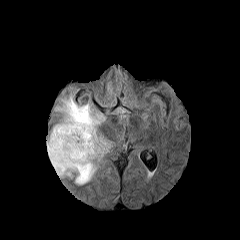
FLAIR MR.
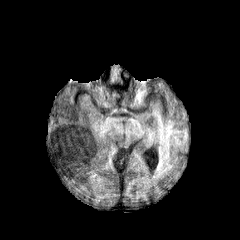
T1-weighted MRI.
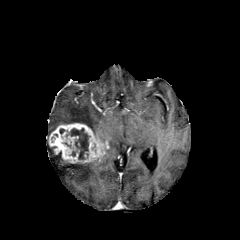
Post-contrast T1-weighted MR image.
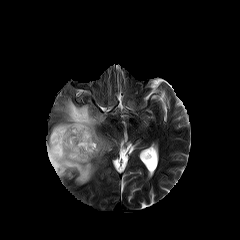
Same slice, T2-weighted magnetic resonance.
Head
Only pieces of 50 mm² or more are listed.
peritumoral edema — (left=51, top=96, right=105, bottom=134), (left=47, top=141, right=97, bottom=184)
necrotic tumor core — (left=70, top=128, right=88, bottom=159)
enhancing tumor — (left=48, top=123, right=109, bottom=163)